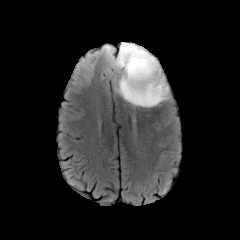
FLAIR MR image.
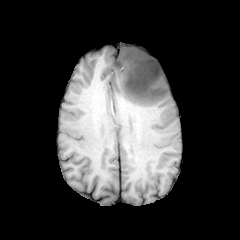
T1-weighted MR of the same slice.
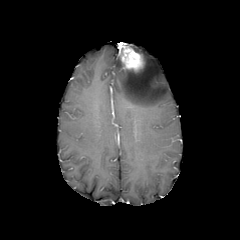
Post-contrast T1-weighted MR.
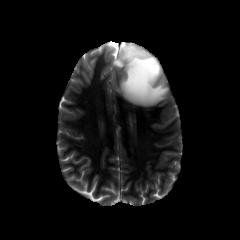
T2-weighted MRI.
Axial view, Head
The enhancing tumor appears at bbox(118, 42, 144, 71). The peritumoral edema lies within bbox(108, 44, 169, 107).